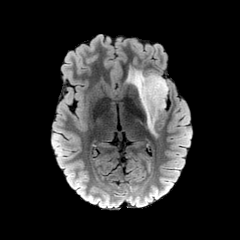
FLAIR magnetic resonance.
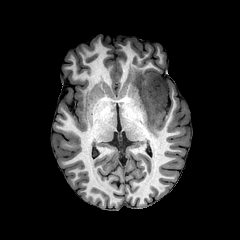
Same slice, T1-weighted MR image.
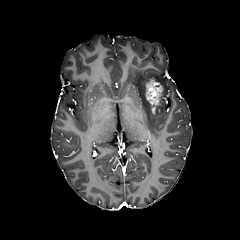
Post-contrast T1-weighted MRI of the same slice.
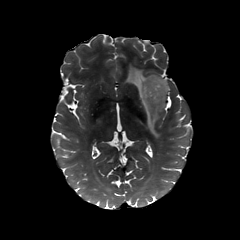
T2-weighted MR image of the same slice.
Head, Axial view
peritumoral edema: 126 67 168 135 | enhancing tumor: 145 79 163 114